FLAIR magnetic resonance.
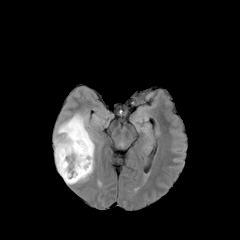
T1-weighted MR image.
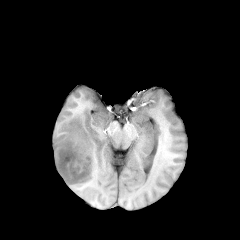
Post-contrast T1-weighted MRI.
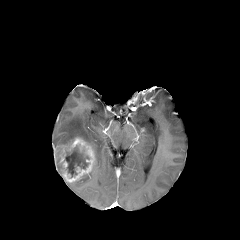
T2-weighted MR image.
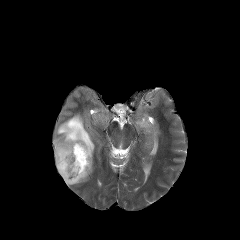
The enhancing tumor appears at box=[59, 137, 94, 182]. The necrotic tumor core appears at box=[65, 146, 89, 177]. 2 peritumoral edema regions are bounded by box=[67, 161, 94, 184]; box=[54, 113, 94, 173].